Axial slice; Brain
FLAIR MR.
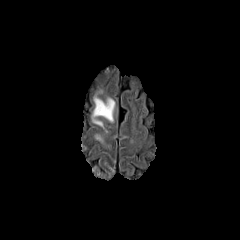
T1-weighted magnetic resonance.
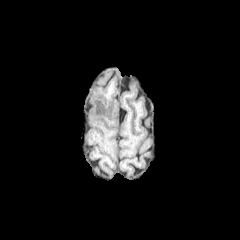
Post-contrast T1-weighted magnetic resonance.
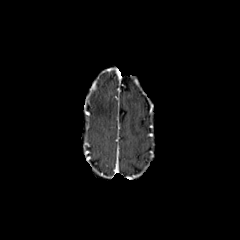
T2-weighted MR.
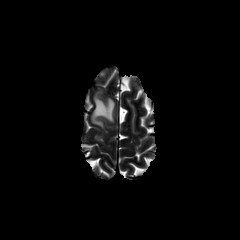
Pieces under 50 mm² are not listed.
The largest peritumoral edema region appears at 92,97,114,126.